FLAIR MR.
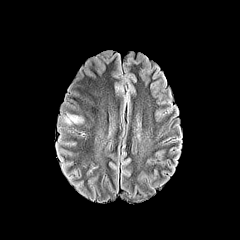
T1-weighted MRI.
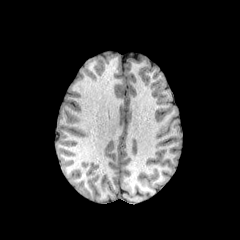
Post-contrast T1-weighted MR image.
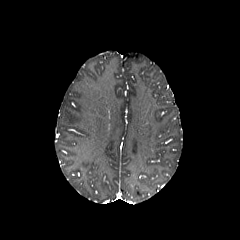
T2-weighted magnetic resonance.
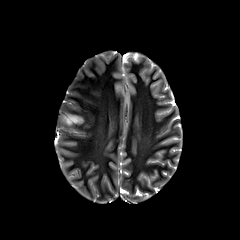
Image size 240x240.
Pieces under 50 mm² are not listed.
Findings:
• peritumoral edema: 69, 116, 82, 122